Brain | Slice 133 of 155 | Image size 240x240 | Axial view
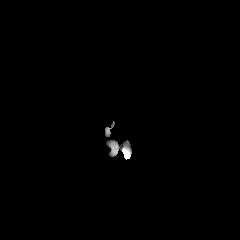
FLAIR MR.
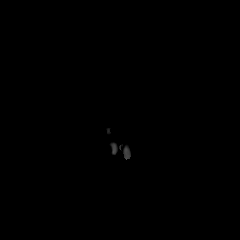
Same slice, T1-weighted MRI.
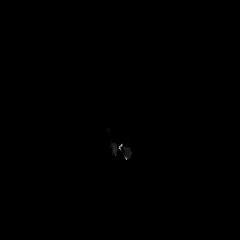
Same slice, post-contrast T1-weighted magnetic resonance.
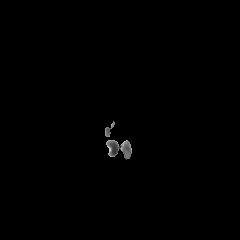
T2-weighted MRI.
Findings:
* peritumoral edema: [122,148,130,158]